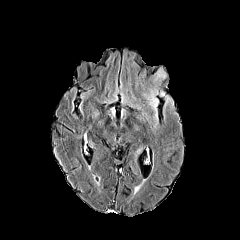
FLAIR MR.
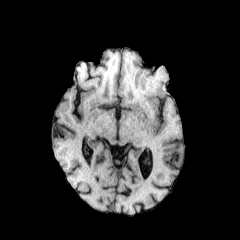
T1-weighted MR.
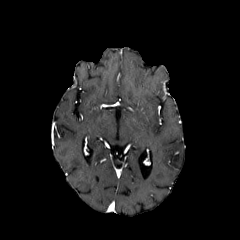
Post-contrast T1-weighted magnetic resonance.
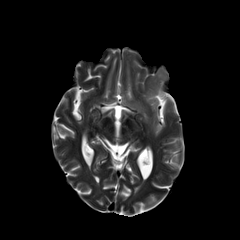
T2-weighted magnetic resonance.
Axial plane
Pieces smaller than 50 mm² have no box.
The 2 largest peritumoral edema regions are bounded by [x1=157, y1=69, x2=165, y2=78], [x1=148, y1=97, x2=158, y2=114].